FLAIR MR image.
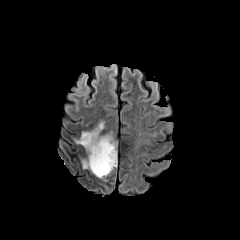
T1-weighted magnetic resonance.
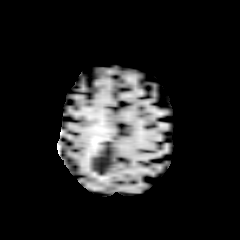
Post-contrast T1-weighted magnetic resonance.
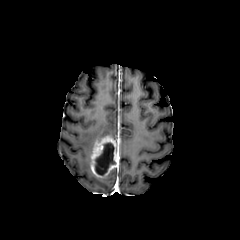
T2-weighted MRI.
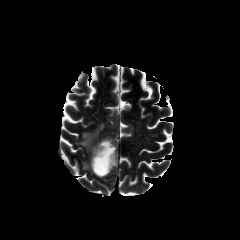
240x240 px, Axial plane
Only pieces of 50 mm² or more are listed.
The enhancing tumor is at 90:135:118:180. The necrotic tumor core lies within 95:142:115:175. The largest peritumoral edema region appears at 76:122:104:170.